FLAIR MR.
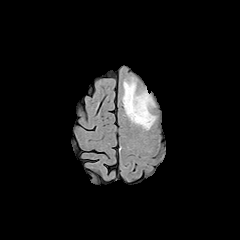
T1-weighted MR image.
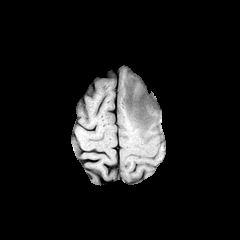
Post-contrast T1-weighted MRI.
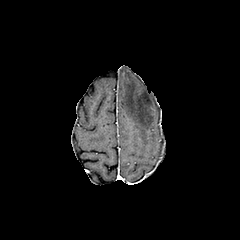
T2-weighted MR.
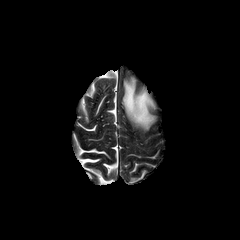
Axial slice
Findings:
* peritumoral edema: x1=122, y1=78, x2=155, y2=129